FLAIR MR image.
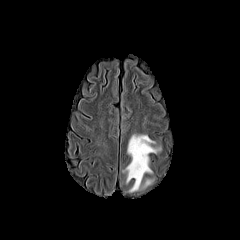
T1-weighted MR image.
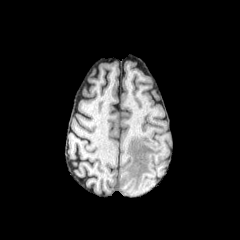
Post-contrast T1-weighted MR.
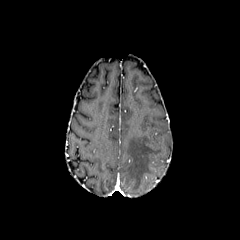
T2-weighted MR image.
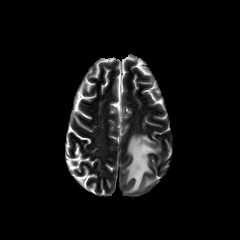
Axial plane; Head
peritumoral edema: bounding box x1=123 y1=134 x2=160 y2=192, x1=142 y1=180 x2=152 y2=187